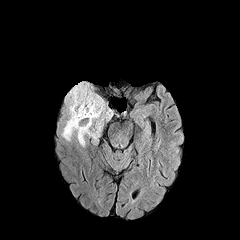
FLAIR MR.
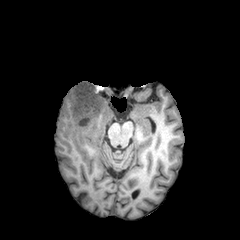
Same slice, T1-weighted MR.
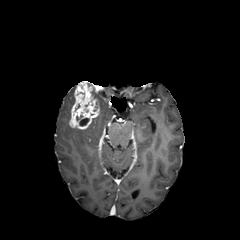
Post-contrast T1-weighted MR of the same slice.
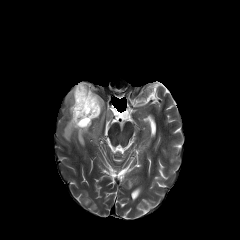
T2-weighted MR.
Brain
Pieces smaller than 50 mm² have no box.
The largest peritumoral edema region appears at [62,86,112,146]. The largest necrotic tumor core region is at [79,118,88,125]. The enhancing tumor is bounded by [69,81,99,129].